Image covers 240 mm x 240 mm, Head
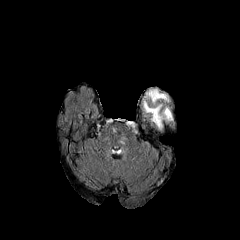
FLAIR magnetic resonance.
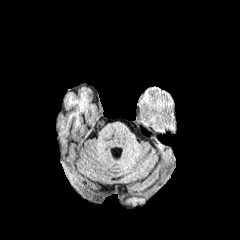
T1-weighted MR image of the same slice.
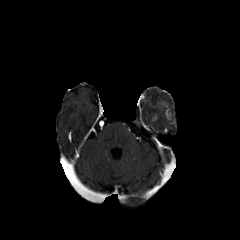
Post-contrast T1-weighted MR.
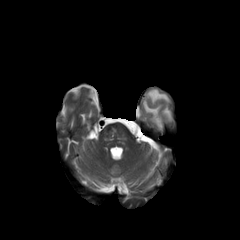
T2-weighted MR.
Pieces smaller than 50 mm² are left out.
The peritumoral edema is located at {"x1": 143, "y1": 89, "x2": 172, "y2": 129}. The largest enhancing tumor region is bounded by {"x1": 165, "y1": 109, "x2": 171, "y2": 120}.